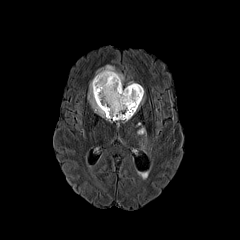
FLAIR MR image.
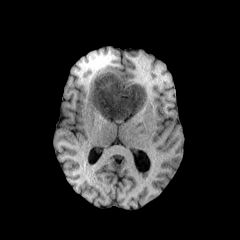
Same slice, T1-weighted MR image.
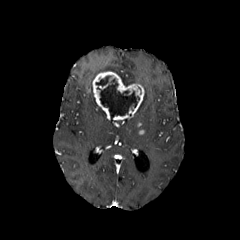
Post-contrast T1-weighted magnetic resonance of the same slice.
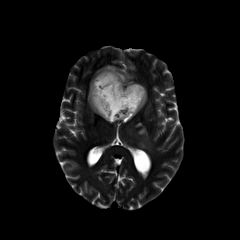
T2-weighted MR of the same slice.
240x240 | Brain
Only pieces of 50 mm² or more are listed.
enhancing tumor: bounding box [92,71,144,120]
peritumoral edema: bounding box [95,65,124,83], [88,80,110,120], [139,126,146,147]
necrotic tumor core: bounding box [96,76,110,86], [97,78,139,119]